FLAIR MR.
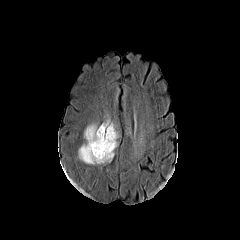
T1-weighted magnetic resonance.
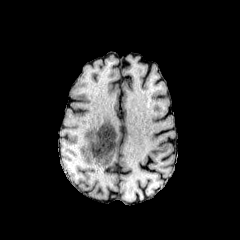
Post-contrast T1-weighted MR.
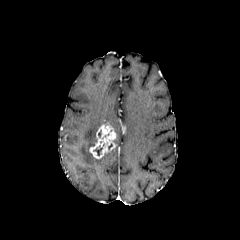
T2-weighted MR image.
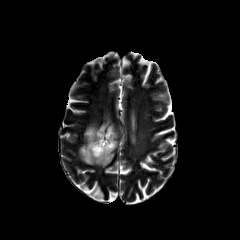
Head, 240x240
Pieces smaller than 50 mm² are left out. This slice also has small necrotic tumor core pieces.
The enhancing tumor appears at x1=89, y1=124, x2=117, y2=160. The largest peritumoral edema region is at x1=79, y1=124, x2=114, y2=165.